Slice 85/155 | Head | Axial plane | Image covers 240 mm x 240 mm
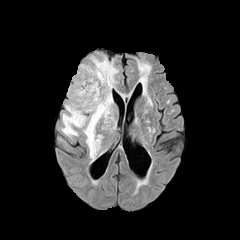
FLAIR magnetic resonance.
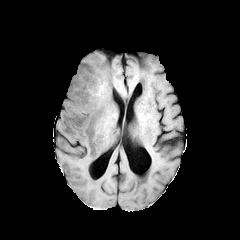
Same slice, T1-weighted magnetic resonance.
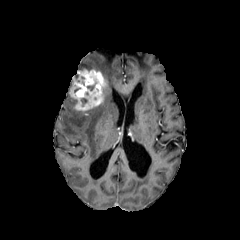
Same slice, post-contrast T1-weighted MR.
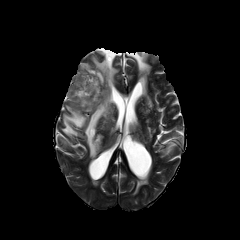
T2-weighted MRI.
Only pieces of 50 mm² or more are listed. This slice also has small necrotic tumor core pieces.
• enhancing tumor: {"x1": 68, "y1": 68, "x2": 107, "y2": 111}
• peritumoral edema: {"x1": 61, "y1": 56, "x2": 118, "y2": 160}